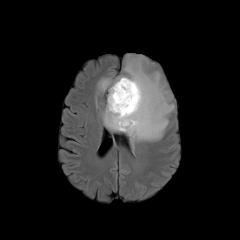
FLAIR MR image.
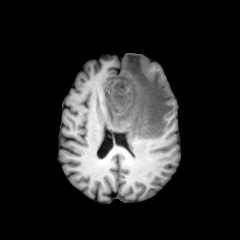
T1-weighted MR image of the same slice.
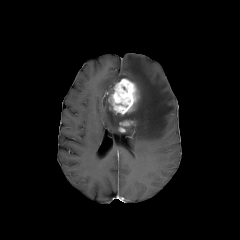
Post-contrast T1-weighted magnetic resonance.
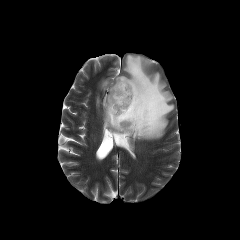
T2-weighted MRI.
Axial slice, Head
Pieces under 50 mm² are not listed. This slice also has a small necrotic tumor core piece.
Findings:
• enhancing tumor: bbox(108, 78, 139, 115); bbox(119, 120, 134, 131)
• peritumoral edema: bbox(98, 55, 174, 146)